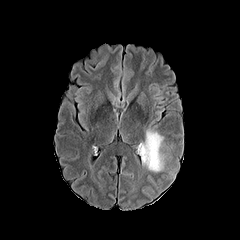
FLAIR MR.
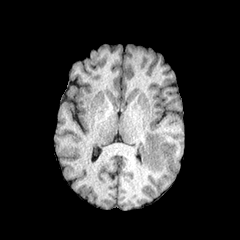
Same slice, T1-weighted MR.
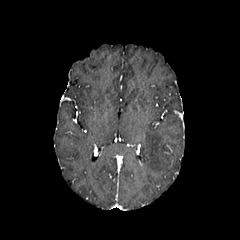
Post-contrast T1-weighted MRI of the same slice.
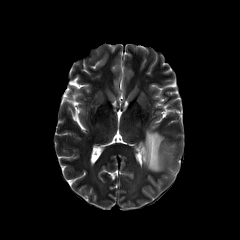
Same slice, T2-weighted MRI.
Axial view
Findings:
* peritumoral edema: (left=140, top=129, right=164, bottom=172)